FLAIR MR image.
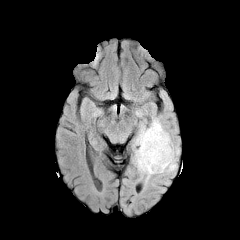
T1-weighted magnetic resonance.
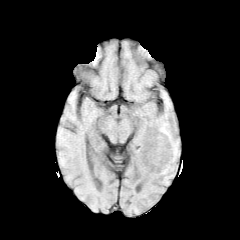
Post-contrast T1-weighted MR.
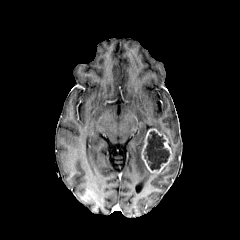
T2-weighted MR.
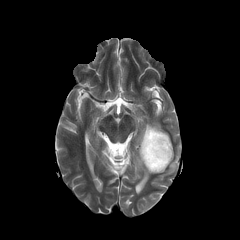
Axial slice; Brain
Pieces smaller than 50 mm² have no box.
{
  "peritumoral_edema": [
    "<bbox>135, 119, 177, 179</bbox>"
  ],
  "enhancing_tumor": [
    "<bbox>141, 128, 172, 173</bbox>"
  ],
  "necrotic_tumor_core": [
    "<bbox>144, 131, 169, 170</bbox>"
  ]
}